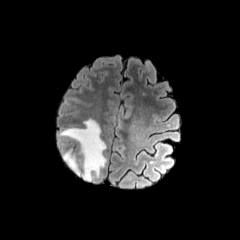
FLAIR magnetic resonance.
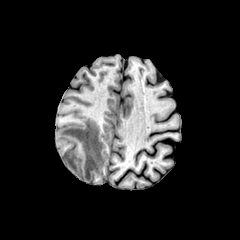
Same slice, T1-weighted MR.
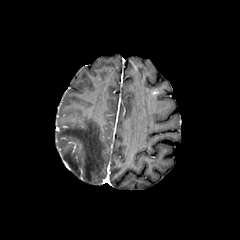
Post-contrast T1-weighted magnetic resonance.
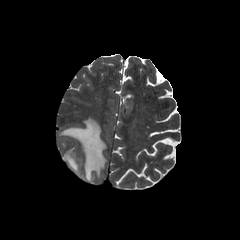
T2-weighted MR of the same slice.
Head; 240x240 px
Findings:
• peritumoral edema: {"x1": 63, "y1": 151, "x2": 80, "y2": 175}, {"x1": 58, "y1": 119, "x2": 106, "y2": 181}